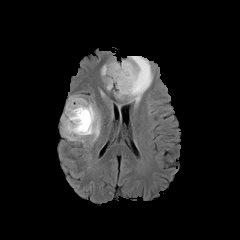
FLAIR MR.
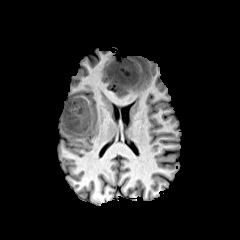
T1-weighted magnetic resonance.
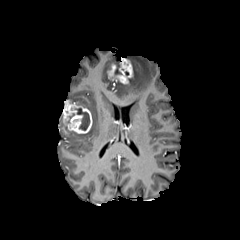
Post-contrast T1-weighted MR.
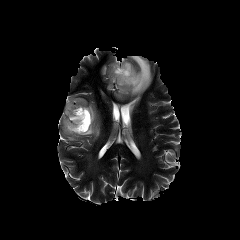
T2-weighted MRI of the same slice.
Axial slice
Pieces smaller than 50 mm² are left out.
{
  "enhancing_tumor": [
    "box(107, 58, 133, 84)",
    "box(63, 100, 92, 133)"
  ],
  "necrotic_tumor_core": [
    "box(75, 108, 89, 130)"
  ],
  "peritumoral_edema": [
    "box(62, 96, 100, 142)",
    "box(115, 56, 152, 104)",
    "box(101, 58, 119, 90)"
  ]
}